Brain; Slice 41/155
FLAIR MR.
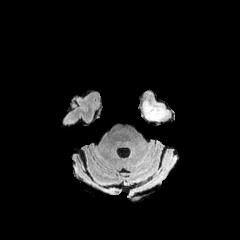
T1-weighted MR image.
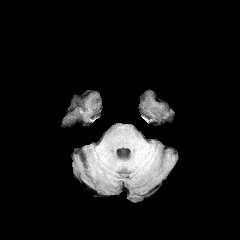
Post-contrast T1-weighted MR image.
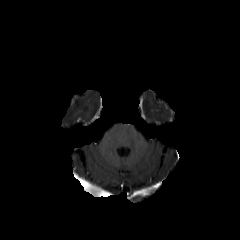
T2-weighted magnetic resonance.
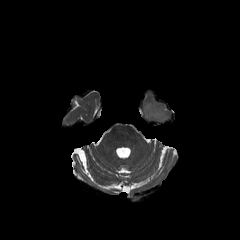
peritumoral edema: 142 100 166 121